Head; Slice 90/155; Image width 240 mm
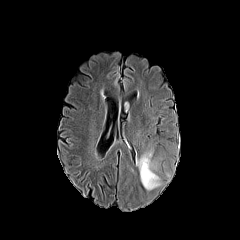
FLAIR magnetic resonance.
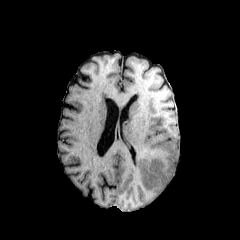
T1-weighted MRI.
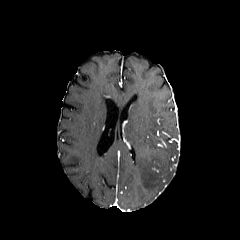
Post-contrast T1-weighted MR image of the same slice.
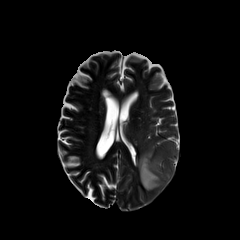
T2-weighted MR.
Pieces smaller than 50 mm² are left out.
Segmented structures:
- peritumoral edema: (136,152,160,190)